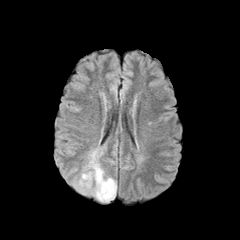
FLAIR MRI.
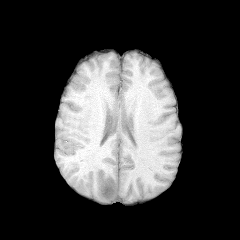
T1-weighted MRI.
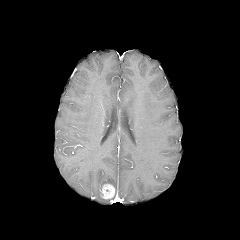
Same slice, post-contrast T1-weighted MRI.
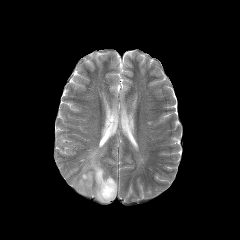
T2-weighted magnetic resonance.
Head | 240x240
Findings:
• enhancing tumor: 100, 183, 115, 199
• peritumoral edema: 72, 148, 117, 202